FLAIR MRI.
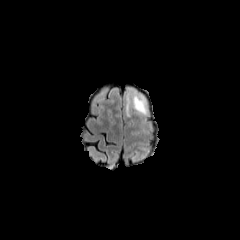
T1-weighted MRI.
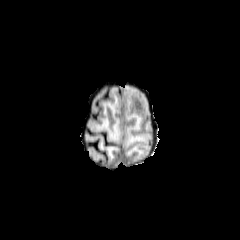
Post-contrast T1-weighted magnetic resonance.
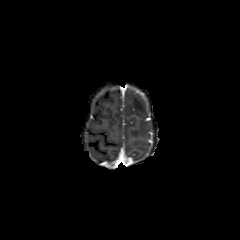
T2-weighted magnetic resonance.
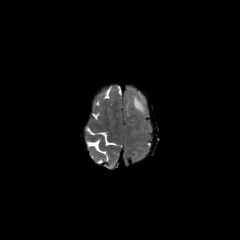
240x240. Head. Axial plane.
2 peritumoral edema regions are located at region(133, 95, 147, 114); region(126, 97, 129, 115).